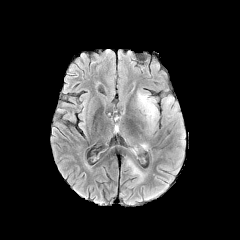
FLAIR MR image.
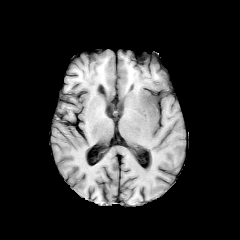
Same slice, T1-weighted MR image.
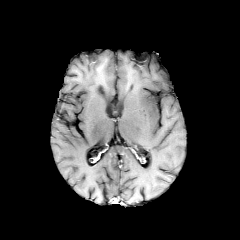
Same slice, post-contrast T1-weighted MR.
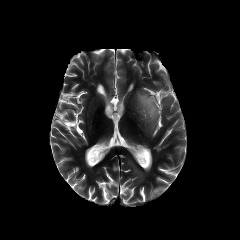
T2-weighted MR image of the same slice.
Brain; 240x240 px
The peritumoral edema is located at <box>135,91,159,135</box>.